FLAIR MR.
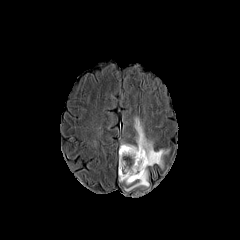
T1-weighted MRI.
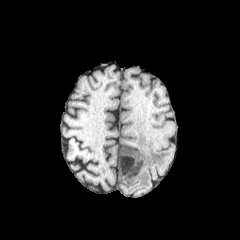
Post-contrast T1-weighted magnetic resonance.
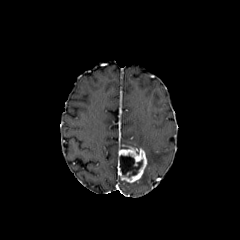
T2-weighted MRI.
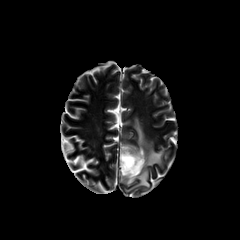
Head, 240x240 px
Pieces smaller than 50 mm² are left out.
<segmentation>
  <necrotic_tumor_core>box=[120, 155, 142, 177]</necrotic_tumor_core>
  <peritumoral_edema>box=[120, 117, 169, 191]</peritumoral_edema>
  <enhancing_tumor>box=[118, 147, 147, 182]</enhancing_tumor>
</segmentation>